Image size 240x240
FLAIR MR image.
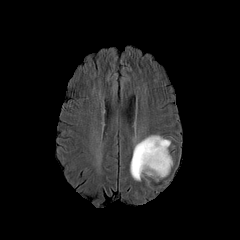
T1-weighted MR image.
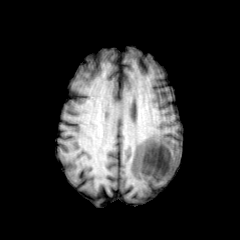
Post-contrast T1-weighted MR.
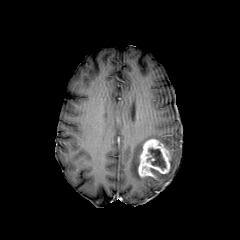
T2-weighted magnetic resonance.
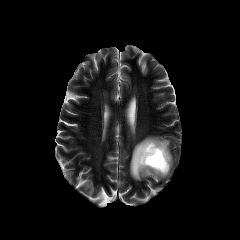
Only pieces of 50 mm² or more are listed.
<segmentation>
  <peritumoral_edema>bbox(156, 173, 168, 180); bbox(130, 135, 170, 180)</peritumoral_edema>
  <enhancing_tumor>bbox(138, 139, 170, 178)</enhancing_tumor>
  <necrotic_tumor_core>bbox(148, 149, 165, 168)</necrotic_tumor_core>
</segmentation>